Slice index 46. Head.
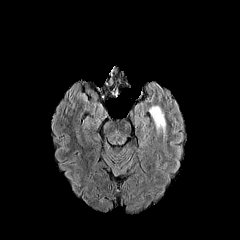
FLAIR MRI.
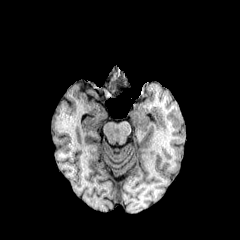
T1-weighted magnetic resonance of the same slice.
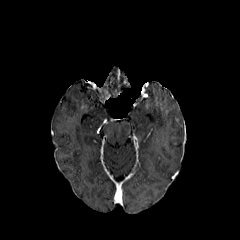
Post-contrast T1-weighted MR image.
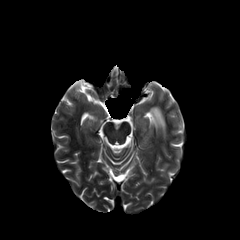
T2-weighted magnetic resonance.
<segmentation>
  <peritumoral_edema>x1=149 y1=106 x2=165 y2=137</peritumoral_edema>
</segmentation>